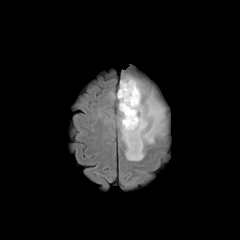
FLAIR MRI.
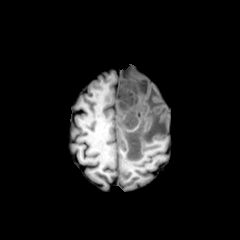
T1-weighted magnetic resonance of the same slice.
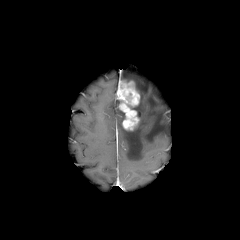
Same slice, post-contrast T1-weighted magnetic resonance.
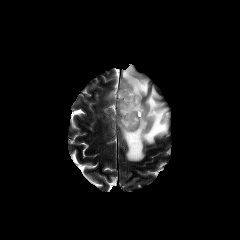
T2-weighted MR image.
Head; 240x240 px
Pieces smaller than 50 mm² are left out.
peritumoral edema: box=[118, 73, 166, 161]
enhancing tumor: box=[116, 81, 139, 130]